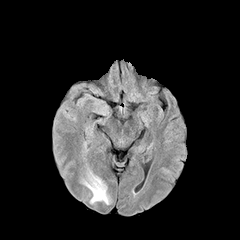
FLAIR magnetic resonance.
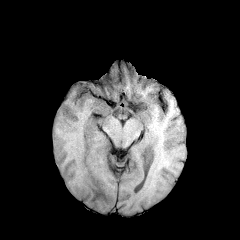
T1-weighted MRI.
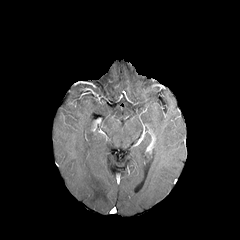
Post-contrast T1-weighted magnetic resonance.
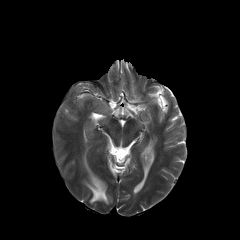
T2-weighted magnetic resonance of the same slice.
Brain.
• peritumoral edema: bbox=[83, 168, 109, 204]